Axial slice; Brain
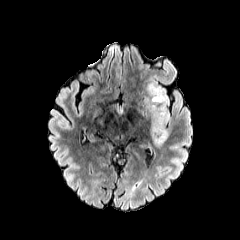
FLAIR MR.
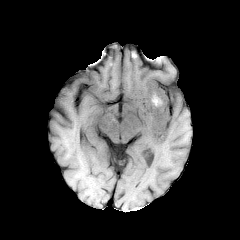
T1-weighted magnetic resonance of the same slice.
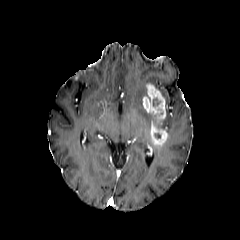
Post-contrast T1-weighted MRI of the same slice.
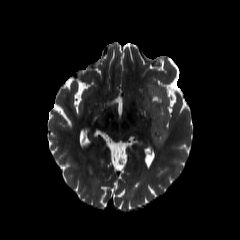
T2-weighted MR of the same slice.
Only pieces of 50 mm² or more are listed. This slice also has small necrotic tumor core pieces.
peritumoral edema at bbox=[146, 77, 169, 105]
enhancing tumor at bbox=[143, 83, 168, 146]